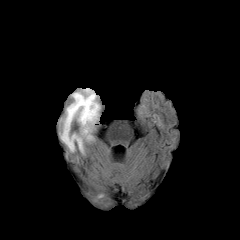
FLAIR MRI.
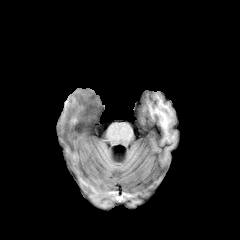
Same slice, T1-weighted MRI.
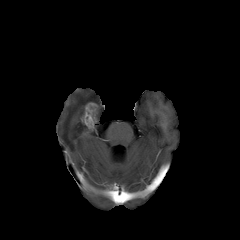
Same slice, post-contrast T1-weighted magnetic resonance.
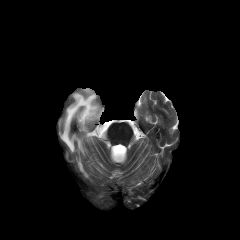
Same slice, T2-weighted magnetic resonance.
Axial plane.
enhancing tumor: x1=80, y1=102, x2=98, y2=136 | peritumoral edema: x1=60, y1=88, x2=100, y2=153